Image size 240x240 | Brain | Axial slice | Slice index 111
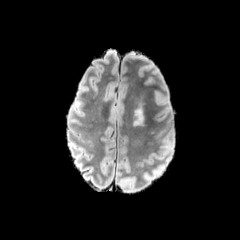
FLAIR MRI.
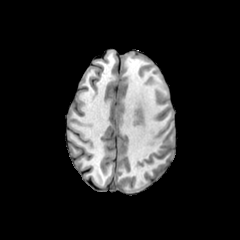
T1-weighted MR image.
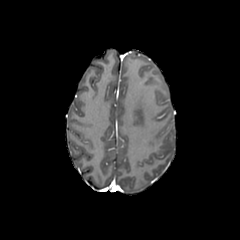
Post-contrast T1-weighted MR of the same slice.
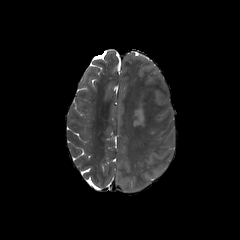
T2-weighted MR image of the same slice.
The peritumoral edema is bounded by left=133, top=106, right=143, bottom=125.